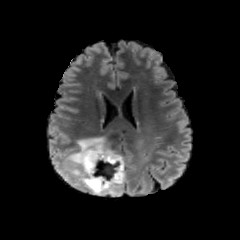
FLAIR MRI.
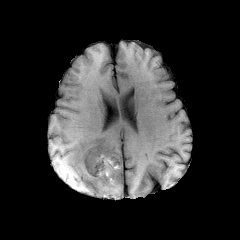
T1-weighted magnetic resonance.
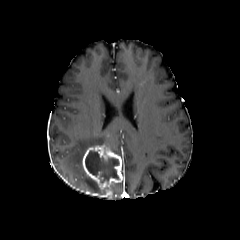
Post-contrast T1-weighted MRI of the same slice.
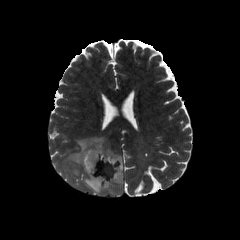
Same slice, T2-weighted magnetic resonance.
Axial view, Head
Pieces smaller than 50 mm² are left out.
necrotic_tumor_core:
  - [x1=85, y1=151, x2=119, y2=183]
peritumoral_edema:
  - [x1=112, y1=183, x2=123, y2=194]
  - [x1=66, y1=136, x2=119, y2=193]
enhancing_tumor:
  - [x1=82, y1=145, x2=121, y2=194]